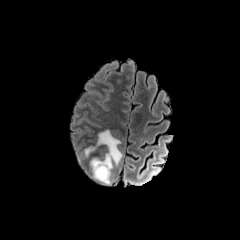
FLAIR MRI.
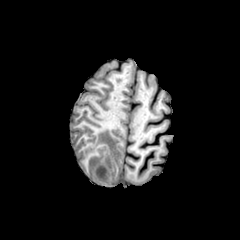
T1-weighted MR image of the same slice.
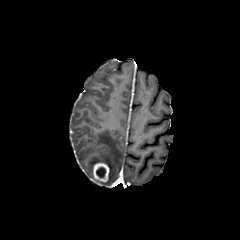
Post-contrast T1-weighted MRI.
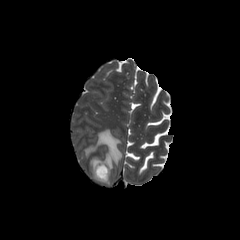
T2-weighted MRI of the same slice.
Axial slice.
peritumoral edema at {"x1": 84, "y1": 129, "x2": 122, "y2": 185}
necrotic tumor core at {"x1": 96, "y1": 167, "x2": 105, "y2": 177}
enhancing tumor at {"x1": 92, "y1": 162, "x2": 109, "y2": 182}